Axial view; Slice 115 of 155; Head
FLAIR MRI.
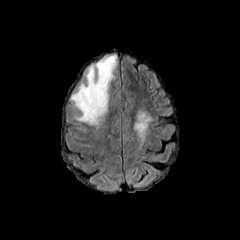
T1-weighted MRI.
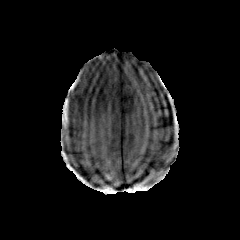
Post-contrast T1-weighted MR image.
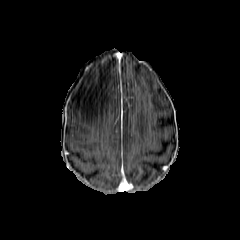
T2-weighted magnetic resonance.
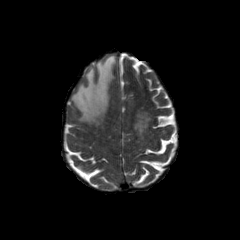
peritumoral edema = region(70, 54, 116, 125)